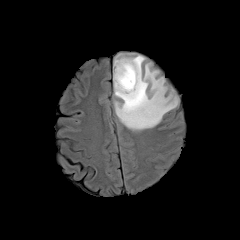
FLAIR MR.
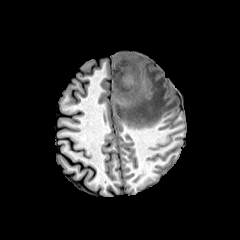
Same slice, T1-weighted magnetic resonance.
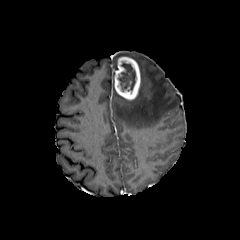
Post-contrast T1-weighted magnetic resonance.
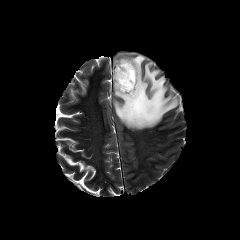
Same slice, T2-weighted MR image.
Axial slice
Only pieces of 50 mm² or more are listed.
necrotic tumor core: bounding box (left=118, top=62, right=135, bottom=91)
enhancing tumor: bounding box (left=114, top=57, right=140, bottom=100)
peritumoral edema: bounding box (left=113, top=53, right=178, bottom=130)